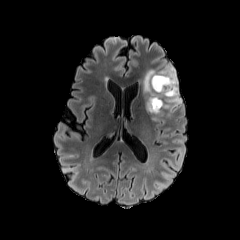
FLAIR magnetic resonance.
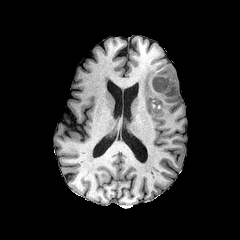
T1-weighted magnetic resonance of the same slice.
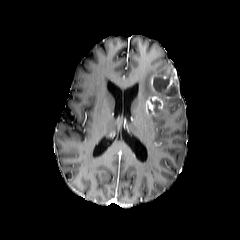
Post-contrast T1-weighted MR image.
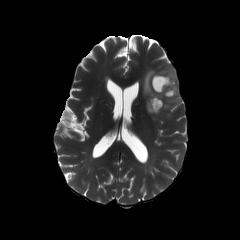
T2-weighted MR of the same slice.
Image size 240x240 | Head | Axial plane
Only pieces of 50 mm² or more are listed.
necrotic tumor core: 153,77,169,92; 166,87,176,96; 150,100,160,111 | peritumoral edema: 143,63,182,120 | enhancing tumor: 151,66,179,98; 145,95,163,115